FLAIR magnetic resonance.
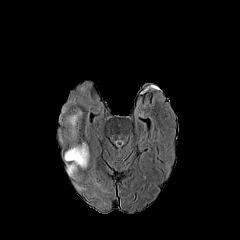
T1-weighted magnetic resonance.
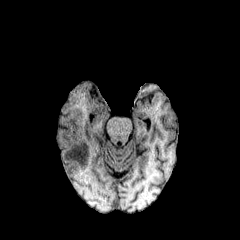
Post-contrast T1-weighted MR image.
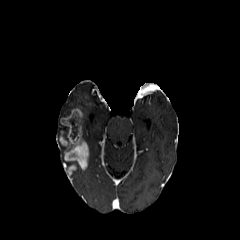
T2-weighted MRI.
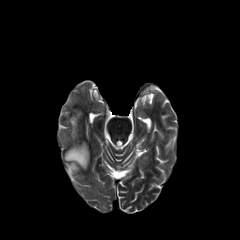
Head; Axial plane
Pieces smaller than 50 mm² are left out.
<segmentation>
  <necrotic_tumor_core>(69,116,79,139)</necrotic_tumor_core>
  <enhancing_tumor>(59,108,88,168), (67,165,76,175)</enhancing_tumor>
  <peritumoral_edema>(58,125,68,136), (66,161,79,169)</peritumoral_edema>
</segmentation>